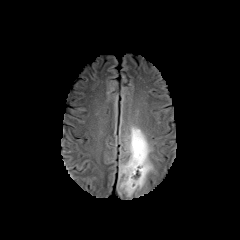
FLAIR MR image.
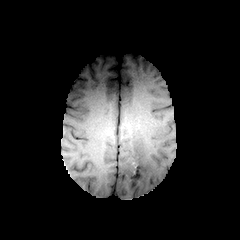
T1-weighted MR.
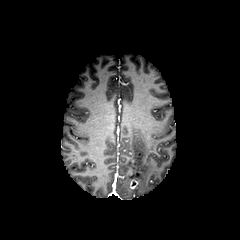
Same slice, post-contrast T1-weighted MR.
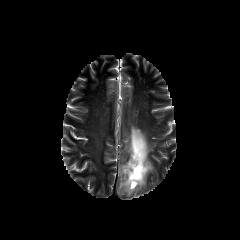
Same slice, T2-weighted MR.
Brain, Axial view
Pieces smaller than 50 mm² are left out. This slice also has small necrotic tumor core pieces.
peritumoral edema: (119, 126, 153, 196)
enhancing tumor: (127, 167, 142, 178)